Slice 75/155
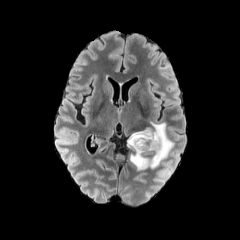
FLAIR MRI.
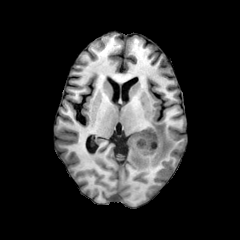
T1-weighted MRI of the same slice.
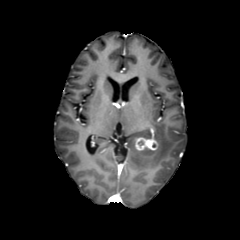
Post-contrast T1-weighted MR.
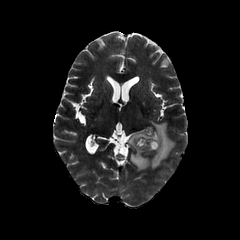
T2-weighted MRI.
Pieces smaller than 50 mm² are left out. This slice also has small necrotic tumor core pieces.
<segmentation>
  <enhancing_tumor>135,137,158,150</enhancing_tumor>
  <peritumoral_edema>127,119,174,170</peritumoral_edema>
</segmentation>